Image width 240 mm; 240x240; Head
FLAIR MR.
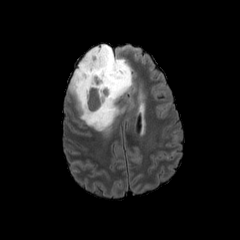
T1-weighted MR.
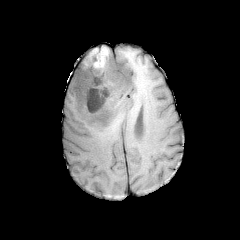
Post-contrast T1-weighted MRI.
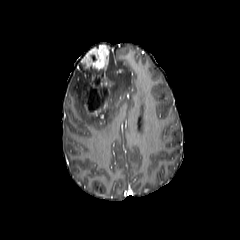
T2-weighted MR image.
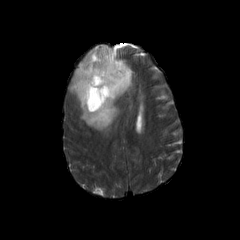
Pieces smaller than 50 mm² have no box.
<segmentation>
  <peritumoral_edema>[x1=68, y1=45, x2=132, y2=133]</peritumoral_edema>
  <necrotic_tumor_core>[x1=87, y1=87, x2=107, y2=110]</necrotic_tumor_core>
  <enhancing_tumor>[x1=93, y1=76, x2=111, y2=111], [x1=85, y1=103, x2=104, y2=123], [x1=81, y1=45, x2=109, y2=79]</enhancing_tumor>
</segmentation>